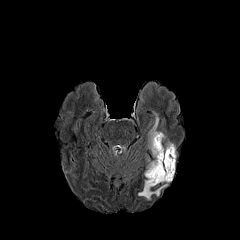
FLAIR MR image.
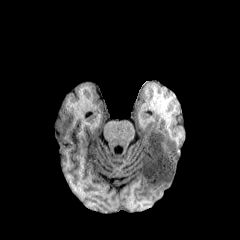
T1-weighted MRI.
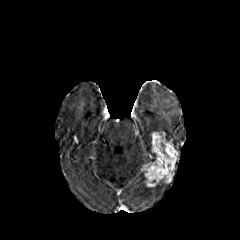
Post-contrast T1-weighted MR.
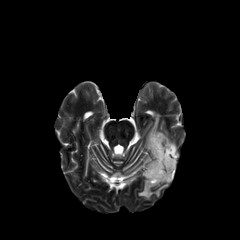
Same slice, T2-weighted magnetic resonance.
Axial plane
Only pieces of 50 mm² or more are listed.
enhancing tumor: 144 132 178 187
peritumoral edema: 138 183 168 199, 148 112 160 149